Axial slice, Slice 71/155, Brain
FLAIR MRI.
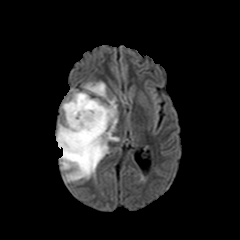
T1-weighted MR image.
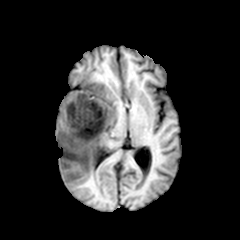
Post-contrast T1-weighted magnetic resonance.
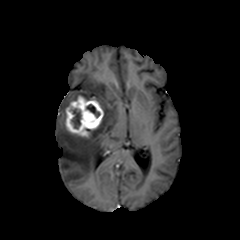
T2-weighted magnetic resonance.
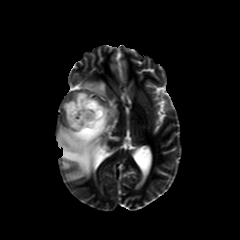
The enhancing tumor is located at l=65, t=95, r=103, b=137. 3 peritumoral edema regions appear at l=56, t=98, r=119, b=181; l=83, t=82, r=106, b=97; l=62, t=92, r=91, b=117. 2 necrotic tumor core regions are located at l=72, t=109, r=80, b=128; l=86, t=104, r=99, b=117.